FLAIR MRI.
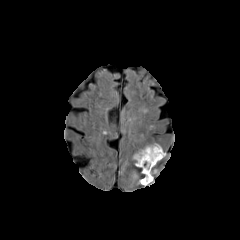
T1-weighted MR.
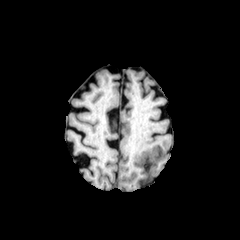
Post-contrast T1-weighted MRI.
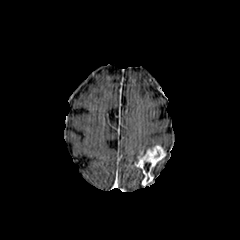
T2-weighted magnetic resonance.
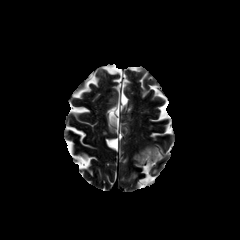
Brain, Image size 240x240
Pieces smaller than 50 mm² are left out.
<segmentation>
  <enhancing_tumor>x1=135 y1=145 x2=165 y2=185</enhancing_tumor>
  <peritumoral_edema>x1=132 y1=143 x2=158 y2=162</peritumoral_edema>
  <necrotic_tumor_core>x1=144 y1=162 x2=150 y2=172</necrotic_tumor_core>
</segmentation>